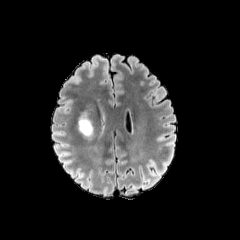
FLAIR MR.
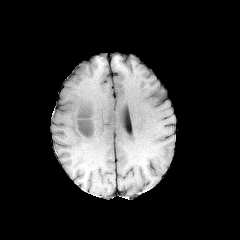
T1-weighted MRI.
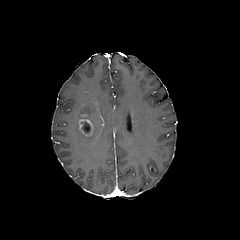
Same slice, post-contrast T1-weighted MR.
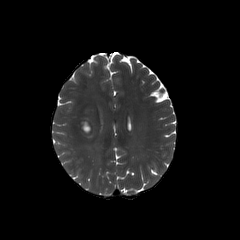
T2-weighted MR.
Axial slice. Image size 240x240. Brain.
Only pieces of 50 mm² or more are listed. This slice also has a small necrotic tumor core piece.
{"peritumoral_edema": ["(left=79, top=110, right=89, bottom=123)"], "enhancing_tumor": ["(left=79, top=119, right=92, bottom=135)"]}